Image covers 240 mm x 240 mm | Head
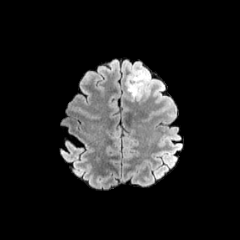
FLAIR MRI.
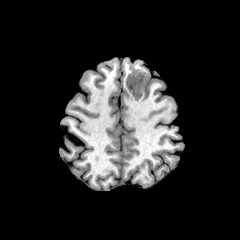
T1-weighted MR image.
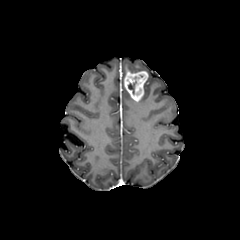
Post-contrast T1-weighted magnetic resonance.
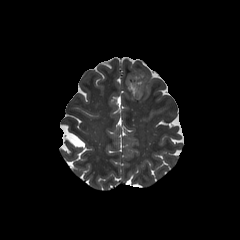
T2-weighted MR.
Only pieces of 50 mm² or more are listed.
The enhancing tumor appears at l=124, t=71, r=148, b=101. The peritumoral edema is at l=131, t=67, r=154, b=96. The largest necrotic tumor core region appears at l=128, t=81, r=136, b=94.